Slice 99 of 155. Axial plane.
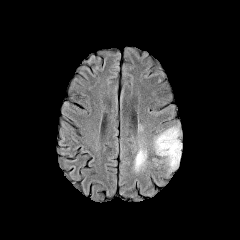
FLAIR MR image.
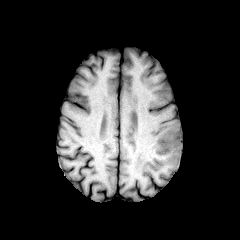
T1-weighted MR of the same slice.
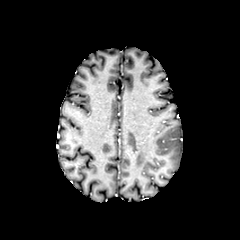
Post-contrast T1-weighted MR image of the same slice.
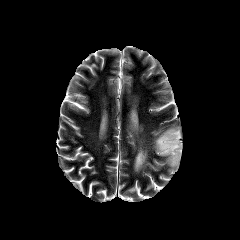
Same slice, T2-weighted MRI.
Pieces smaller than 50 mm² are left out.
<segmentation>
  <peritumoral_edema>box=[151, 126, 182, 176]; box=[131, 147, 147, 175]</peritumoral_edema>
</segmentation>